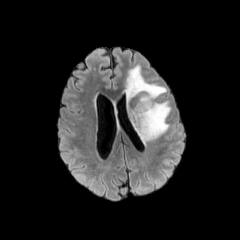
FLAIR magnetic resonance.
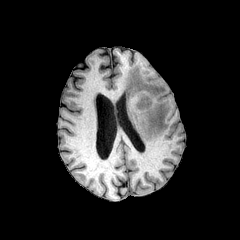
T1-weighted MR image of the same slice.
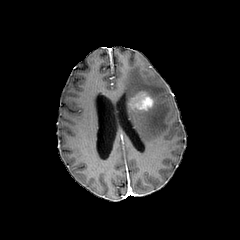
Post-contrast T1-weighted MRI.
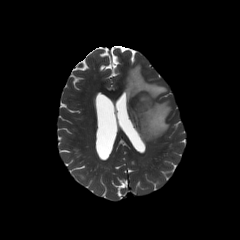
Same slice, T2-weighted MR image.
Axial slice, 240x240 px
enhancing_tumor:
  - box(135, 92, 153, 110)
peritumoral_edema:
  - box(131, 101, 170, 144)
  - box(125, 65, 166, 102)